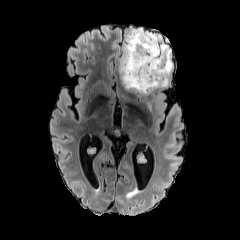
FLAIR MR.
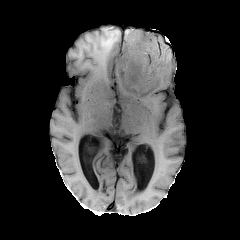
T1-weighted MRI.
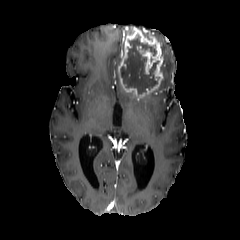
Post-contrast T1-weighted MRI.
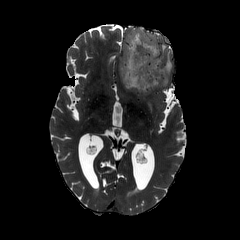
T2-weighted MRI.
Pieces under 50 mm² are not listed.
Annotated regions:
* enhancing tumor: bbox=[118, 28, 163, 96]
* peritumoral edema: bbox=[154, 33, 172, 86]
* necrotic tumor core: bbox=[120, 38, 158, 94]